Image width 240 mm | Axial plane
FLAIR MR image.
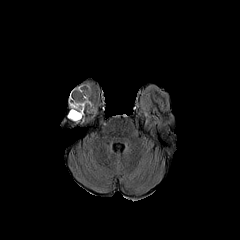
T1-weighted MRI.
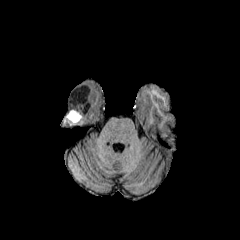
Post-contrast T1-weighted MRI.
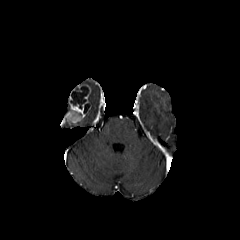
T2-weighted MRI.
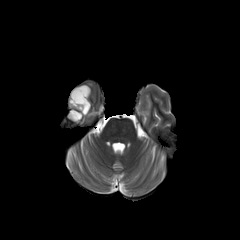
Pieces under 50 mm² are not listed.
{
  "enhancing_tumor": [
    "<box>68,88,84,122</box>"
  ],
  "necrotic_tumor_core": [
    "<box>71,111,81,117</box>",
    "<box>70,85,89,109</box>"
  ],
  "peritumoral_edema": [
    "<box>89,101,96,114</box>"
  ]
}